Slice 43/155. Axial slice. Brain.
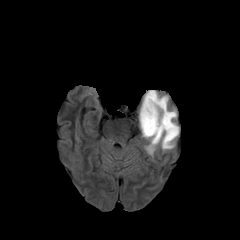
FLAIR MR image.
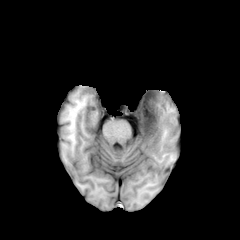
T1-weighted magnetic resonance.
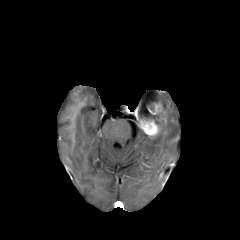
Same slice, post-contrast T1-weighted MRI.
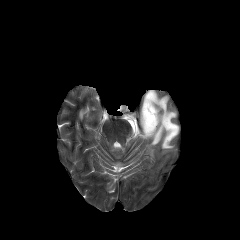
Same slice, T2-weighted MR image.
The enhancing tumor is bounded by (139,102,166,137). The peritumoral edema lies within (139,90,179,155).